Brain. Image size 240x240. Slice index 36. Axial view.
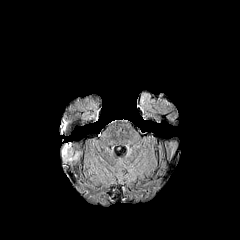
FLAIR MR.
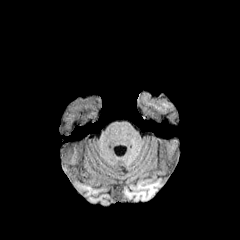
Same slice, T1-weighted MR image.
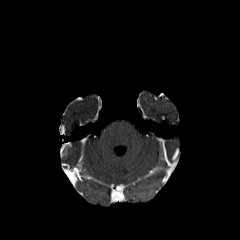
Post-contrast T1-weighted MR image.
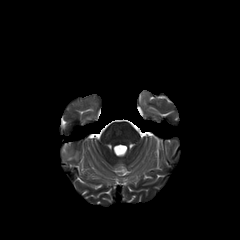
T2-weighted MRI.
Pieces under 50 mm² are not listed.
enhancing tumor: bounding box <bbox>60, 142, 71, 156</bbox>
peritumoral edema: bounding box <bbox>63, 149, 78, 160</bbox>